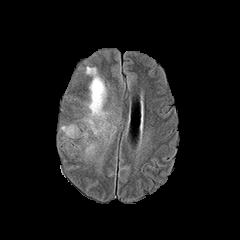
FLAIR MRI.
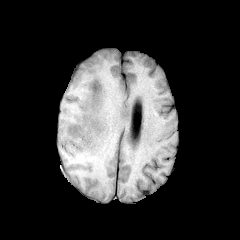
Same slice, T1-weighted MRI.
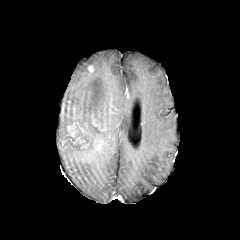
Post-contrast T1-weighted MRI of the same slice.
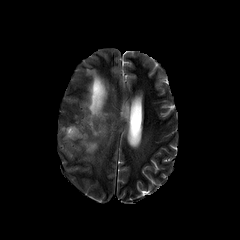
T2-weighted MR of the same slice.
240x240 px; Brain
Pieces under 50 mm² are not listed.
peritumoral edema: region(84, 67, 106, 137); region(61, 125, 78, 137); region(83, 133, 97, 153)
enhancing tumor: region(92, 113, 108, 132)